Brain. Axial plane. Slice index 115.
FLAIR MR image.
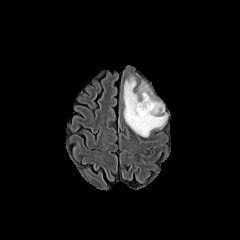
T1-weighted magnetic resonance.
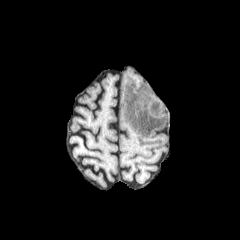
Post-contrast T1-weighted MR.
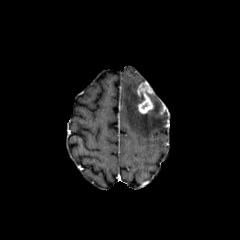
T2-weighted MR image.
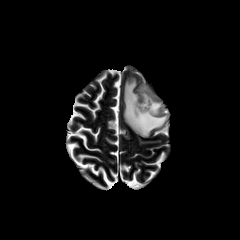
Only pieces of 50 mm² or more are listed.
peritumoral edema: box(123, 75, 167, 137)
enhancing tumor: box(137, 82, 153, 113)